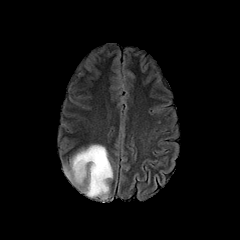
FLAIR magnetic resonance.
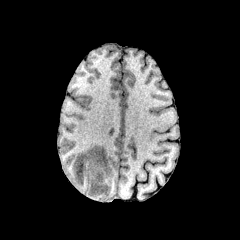
T1-weighted MR image of the same slice.
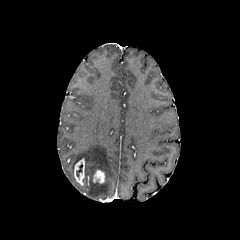
Post-contrast T1-weighted magnetic resonance of the same slice.
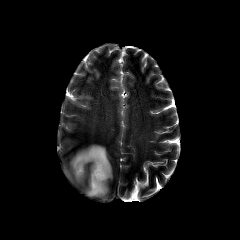
T2-weighted MR image of the same slice.
Head
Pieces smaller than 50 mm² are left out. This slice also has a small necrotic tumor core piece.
<segmentation>
  <peritumoral_edema>bbox=[64, 145, 113, 199]</peritumoral_edema>
  <enhancing_tumor>bbox=[92, 168, 105, 183]; bbox=[74, 158, 84, 183]</enhancing_tumor>
</segmentation>